Brain; Image size 240x240
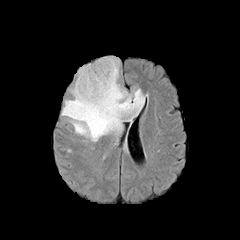
FLAIR MR image.
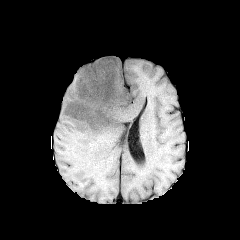
T1-weighted MR.
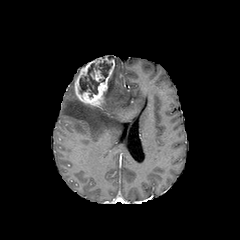
Post-contrast T1-weighted MR.
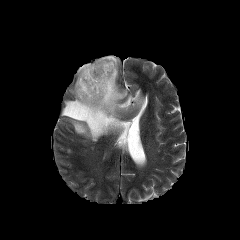
Same slice, T2-weighted magnetic resonance.
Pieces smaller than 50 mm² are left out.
enhancing tumor — 90:68:104:81, 74:56:115:108
necrotic tumor core — 79:60:112:97
peritumoral edema — 61:57:144:141